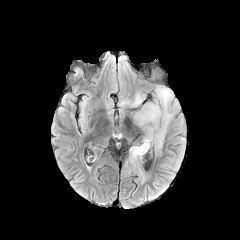
FLAIR magnetic resonance.
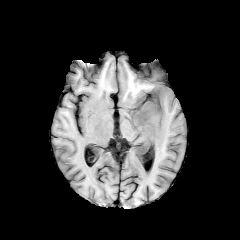
T1-weighted MR.
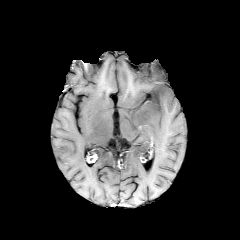
Same slice, post-contrast T1-weighted MR image.
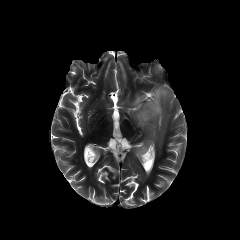
T2-weighted MR image.
Axial slice.
peritumoral_edema:
  - [129,82,180,152]